Slice 63 of 155 | Head
FLAIR MR image.
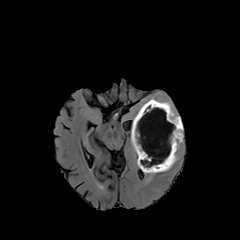
T1-weighted MR.
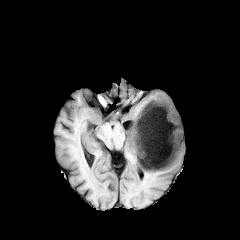
Post-contrast T1-weighted MRI.
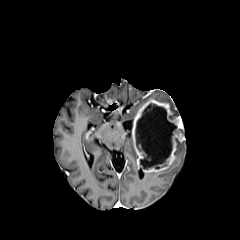
T2-weighted MRI.
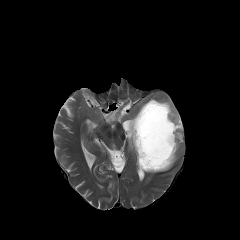
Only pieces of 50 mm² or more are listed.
<segmentation>
  <peritumoral_edema>l=130, t=129, r=137, b=157; l=140, t=97, r=179, b=115; l=144, t=142, r=181, b=174</peritumoral_edema>
  <enhancing_tumor>l=132, t=99, r=183, b=172</enhancing_tumor>
  <necrotic_tumor_core>l=135, t=103, r=176, b=169</necrotic_tumor_core>
</segmentation>